FLAIR magnetic resonance.
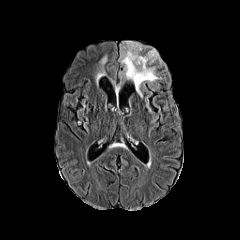
T1-weighted MRI.
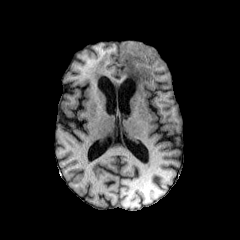
Post-contrast T1-weighted magnetic resonance.
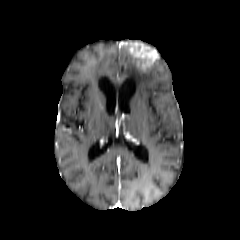
T2-weighted MR.
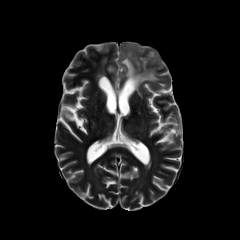
240x240; Axial plane
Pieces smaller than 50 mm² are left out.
The enhancing tumor lies within left=119, top=41, right=159, bottom=71. The largest peritumoral edema region lies within left=120, top=47, right=159, bottom=96.